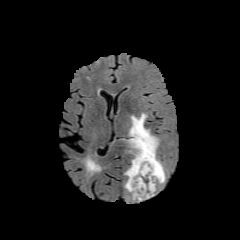
FLAIR magnetic resonance.
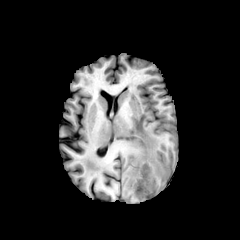
Same slice, T1-weighted MR.
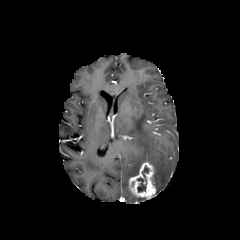
Same slice, post-contrast T1-weighted magnetic resonance.
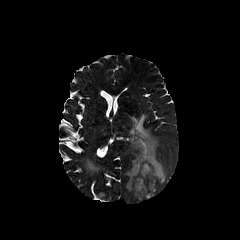
T2-weighted MR image.
Head
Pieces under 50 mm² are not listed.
<segmentation>
  <peritumoral_edema>x1=125, y1=113, x2=165, y2=186</peritumoral_edema>
  <enhancing_tumor>x1=128, y1=162, x2=155, y2=198</enhancing_tumor>
  <necrotic_tumor_core>x1=137, y1=178, x2=145, y2=192</necrotic_tumor_core>
</segmentation>